FLAIR MRI.
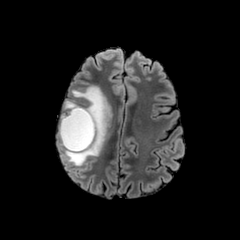
T1-weighted MR.
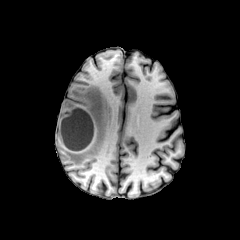
Post-contrast T1-weighted magnetic resonance.
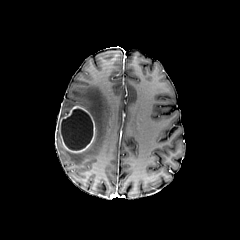
T2-weighted MR image.
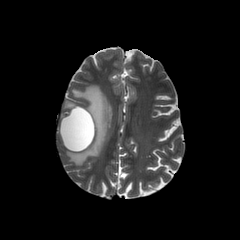
240x240
<segmentation>
  <necrotic_tumor_core>box(61, 109, 92, 150)</necrotic_tumor_core>
  <peritumoral_edema>box(57, 86, 110, 166); box(60, 100, 77, 119)</peritumoral_edema>
  <enhancing_tumor>box(58, 105, 95, 153)</enhancing_tumor>
</segmentation>